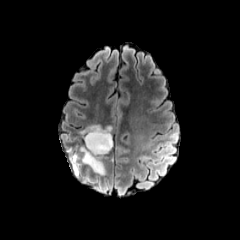
FLAIR MR image.
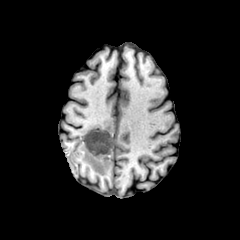
T1-weighted MRI.
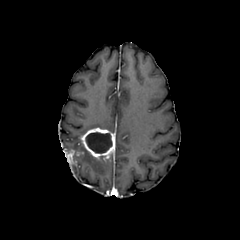
Post-contrast T1-weighted magnetic resonance.
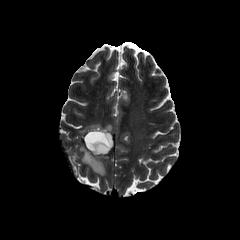
T2-weighted MRI.
Head
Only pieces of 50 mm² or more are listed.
necrotic tumor core at (x1=86, y1=132, x2=112, y2=153)
peritumoral edema at (x1=80, y1=146, x2=105, y2=174), (x1=80, y1=124, x2=112, y2=135)
enhancing tumor at (x1=69, y1=150, x2=78, y2=162), (x1=82, y1=127, x2=114, y2=160)